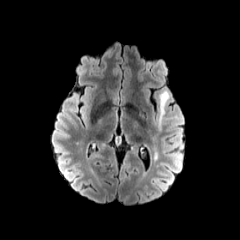
FLAIR MRI.
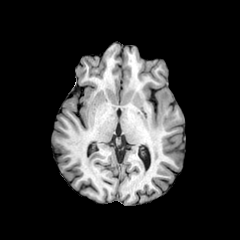
T1-weighted magnetic resonance.
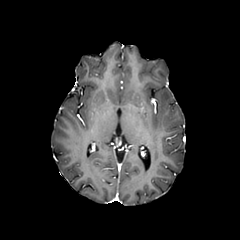
Post-contrast T1-weighted MR.
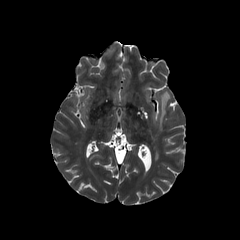
Same slice, T2-weighted magnetic resonance.
Head
The peritumoral edema is located at (left=158, top=90, right=169, bottom=131).